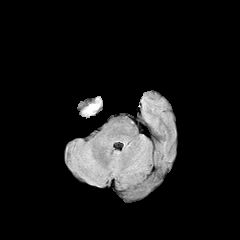
FLAIR MR image.
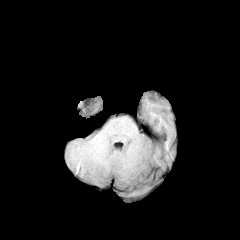
T1-weighted MR of the same slice.
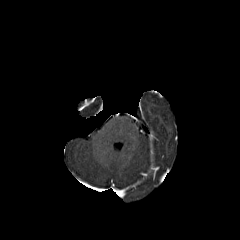
Post-contrast T1-weighted MRI.
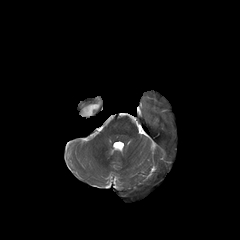
T2-weighted MR image of the same slice.
Head; Axial slice
The peritumoral edema lies within x1=87, y1=104, x2=98, y2=113.